FLAIR MR.
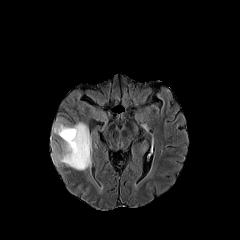
T1-weighted magnetic resonance.
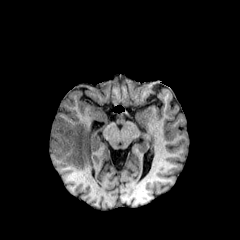
Post-contrast T1-weighted MRI.
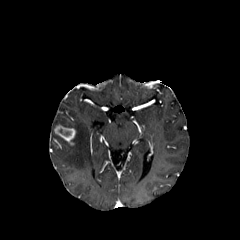
T2-weighted MRI.
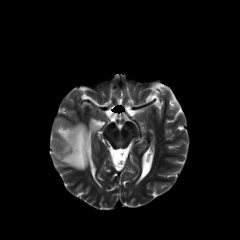
Head | 240x240
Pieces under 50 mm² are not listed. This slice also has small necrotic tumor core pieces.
The peritumoral edema is bounded by <bbox>51, 117, 91, 170</bbox>. The enhancing tumor is at <bbox>54, 124, 75, 145</bbox>.